FLAIR MR image.
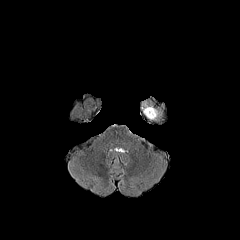
T1-weighted magnetic resonance.
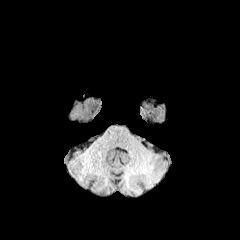
Post-contrast T1-weighted magnetic resonance.
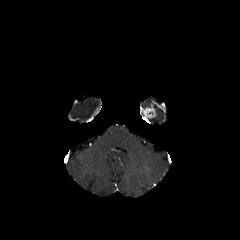
T2-weighted MRI.
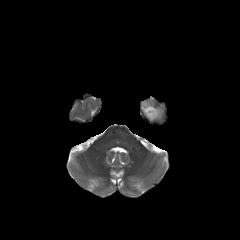
240x240.
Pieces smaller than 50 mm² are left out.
peritumoral edema = 150 109 161 119
enhancing tumor = 141 106 156 118